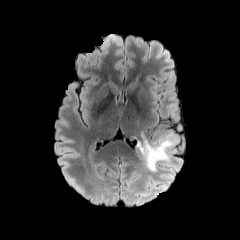
FLAIR MRI.
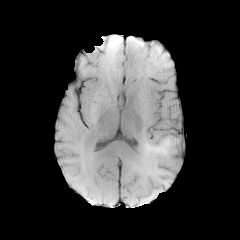
T1-weighted MR of the same slice.
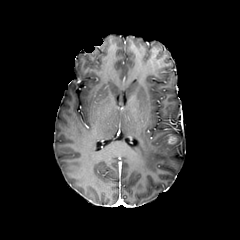
Post-contrast T1-weighted magnetic resonance.
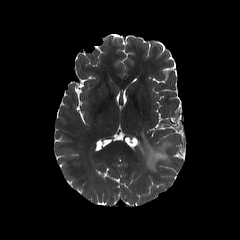
T2-weighted MR image of the same slice.
240x240, Brain, Axial slice
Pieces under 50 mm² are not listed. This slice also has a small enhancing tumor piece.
peritumoral edema = box(137, 132, 178, 172)